FLAIR MR image.
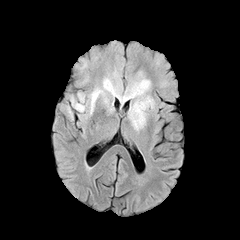
T1-weighted MRI.
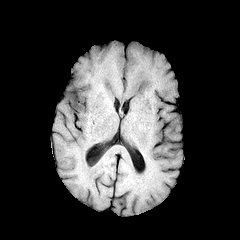
Post-contrast T1-weighted MRI.
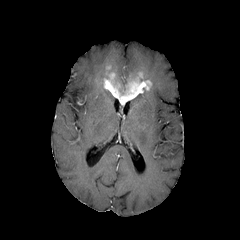
T2-weighted MRI.
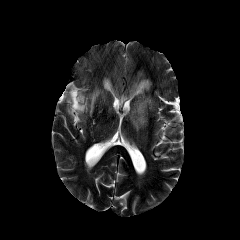
Axial view
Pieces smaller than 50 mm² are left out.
enhancing tumor: bounding box 103, 72, 151, 104
peritumoral edema: bounding box 89, 78, 109, 114; 129, 90, 154, 130; 70, 95, 84, 112; 77, 93, 84, 103